FLAIR MR image.
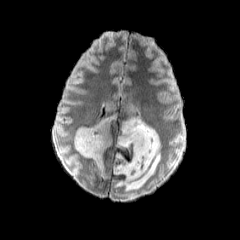
T1-weighted MRI.
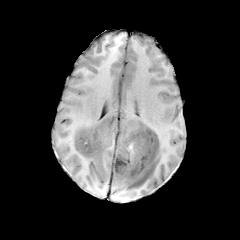
Post-contrast T1-weighted MR.
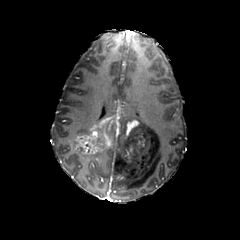
T2-weighted magnetic resonance.
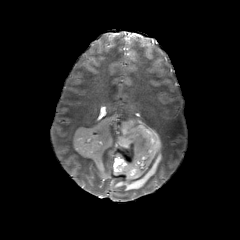
Head, Axial plane
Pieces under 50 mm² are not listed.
enhancing_tumor:
  - x1=74, y1=114, x2=138, y2=158
peritumoral_edema:
  - x1=103, y1=100, x2=160, y2=191
  - x1=75, y1=127, x2=90, y2=135
  - x1=91, y1=151, x2=106, y2=178
necrotic_tumor_core:
  - x1=117, y1=126, x2=126, y2=141